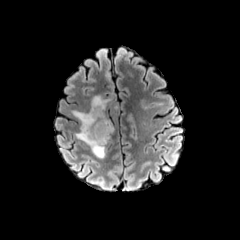
FLAIR MR image.
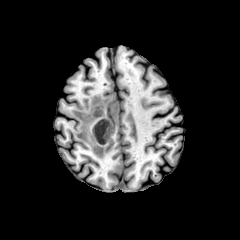
Same slice, T1-weighted MR image.
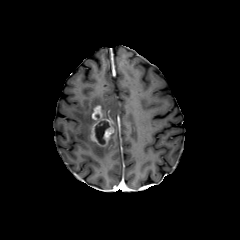
Post-contrast T1-weighted MR image.
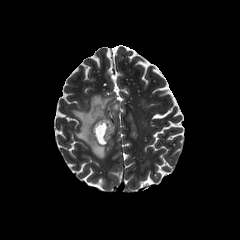
Same slice, T2-weighted MR image.
Axial view.
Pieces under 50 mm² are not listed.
{"necrotic_tumor_core": ["x1=95 y1=120 x2=109 y2=144"], "peritumoral_edema": ["x1=72 y1=95 x2=111 y2=158"], "enhancing_tumor": ["x1=90 y1=105 x2=114 y2=146"]}